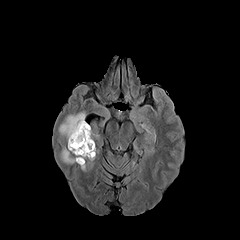
FLAIR MRI.
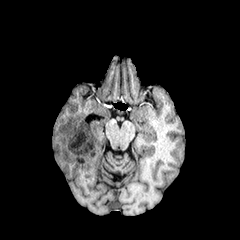
T1-weighted MR.
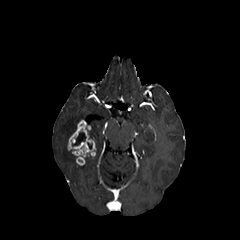
Same slice, post-contrast T1-weighted MRI.
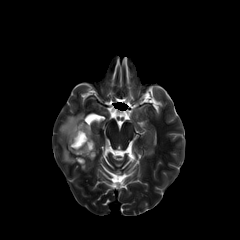
T2-weighted MR image of the same slice.
Image size 240x240.
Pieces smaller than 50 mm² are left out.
necrotic tumor core: [72, 132, 85, 145] | peritumoral edema: [61, 145, 76, 163], [88, 130, 99, 138], [59, 112, 85, 143] | enhancing tumor: [67, 120, 95, 165]